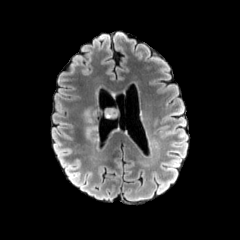
FLAIR magnetic resonance.
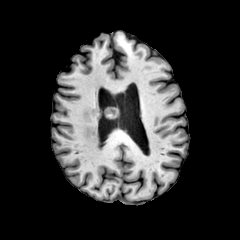
T1-weighted MR image.
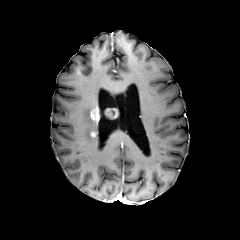
Same slice, post-contrast T1-weighted MRI.
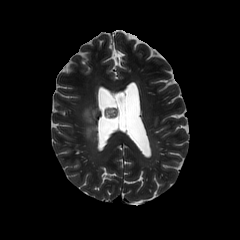
Same slice, T2-weighted MR image.
Head
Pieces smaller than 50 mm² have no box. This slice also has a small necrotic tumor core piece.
Segmented structures:
• peritumoral edema: [83, 107, 98, 140]
• enhancing tumor: [105, 107, 118, 118], [90, 107, 99, 123]